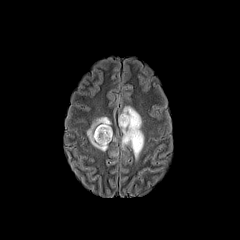
FLAIR MR.
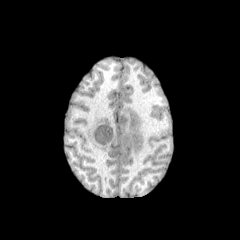
Same slice, T1-weighted MRI.
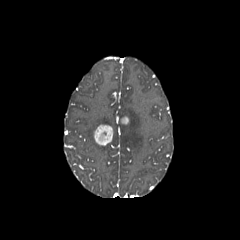
Post-contrast T1-weighted MR of the same slice.
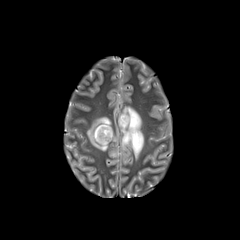
T2-weighted MR.
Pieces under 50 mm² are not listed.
2 enhancing tumor regions appear at x1=120, y1=116, x2=129, y2=124; x1=94, y1=124, x2=113, y2=145. The 2 largest peritumoral edema regions appear at x1=87, y1=117, x2=111, y2=151; x1=119, y1=106, x2=144, y2=159.